FLAIR MRI.
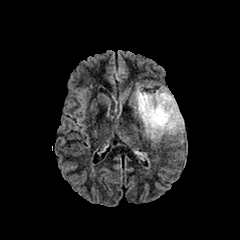
T1-weighted MR image.
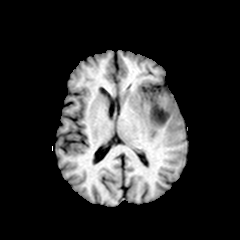
Post-contrast T1-weighted MR.
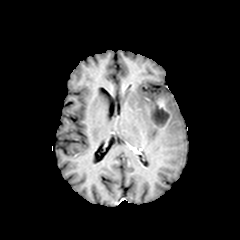
T2-weighted MRI.
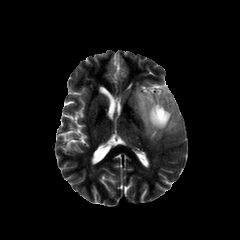
Head.
Findings:
- peritumoral edema: x1=134 y1=86 x2=184 y2=140
- necrotic tumor core: x1=152 y1=107 x2=168 y2=125
- enhancing tumor: x1=149 y1=100 x2=170 y2=127